240x240 px | Slice 53/155
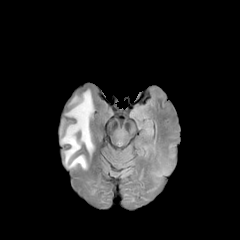
FLAIR magnetic resonance.
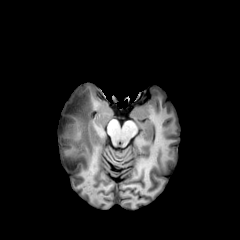
T1-weighted MR image of the same slice.
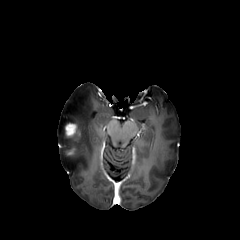
Post-contrast T1-weighted MRI of the same slice.
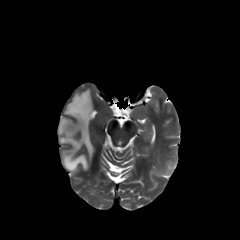
T2-weighted MRI.
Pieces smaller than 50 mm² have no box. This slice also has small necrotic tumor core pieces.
<segmentation>
  <enhancing_tumor><box>65,122,77,137</box>, <box>66,148,74,155</box></enhancing_tumor>
  <peritumoral_edema><box>60,90,93,155</box>, <box>63,151,87,169</box></peritumoral_edema>
</segmentation>